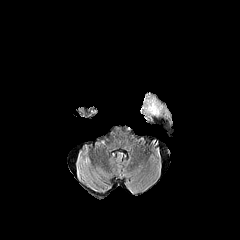
FLAIR magnetic resonance.
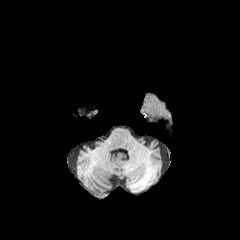
T1-weighted MRI of the same slice.
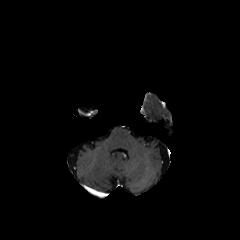
Post-contrast T1-weighted MR.
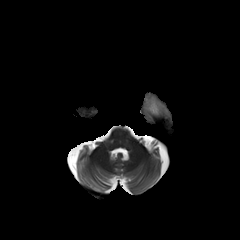
T2-weighted MR of the same slice.
Image size 240x240.
The peritumoral edema is bounded by [148,101,158,113].